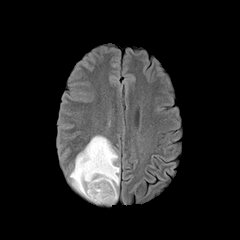
FLAIR MRI.
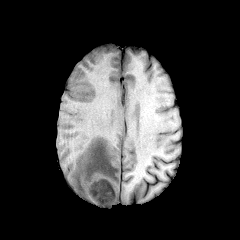
T1-weighted MR.
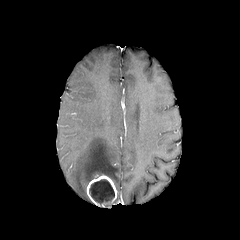
Post-contrast T1-weighted MR image of the same slice.
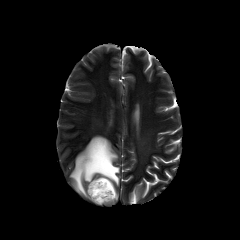
Same slice, T2-weighted MRI.
Brain | Image size 240x240 | Axial view
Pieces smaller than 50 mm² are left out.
enhancing tumor at [x1=86, y1=175, x2=117, y2=206]
necrotic tumor core at [x1=89, y1=179, x2=114, y2=203]
peritumoral edema at [x1=69, y1=135, x2=119, y2=198]